FLAIR MRI.
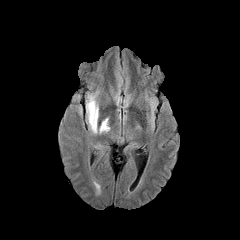
T1-weighted magnetic resonance.
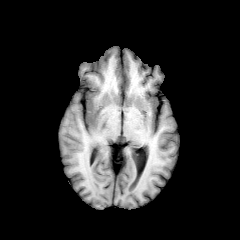
Post-contrast T1-weighted MR image.
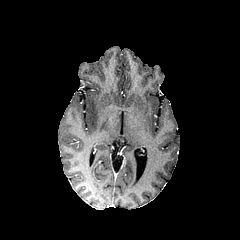
T2-weighted MR.
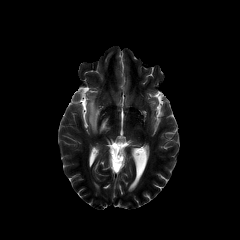
Axial plane. Brain.
2 peritumoral edema regions are bounded by box=[100, 119, 109, 132]; box=[87, 97, 98, 132].